FLAIR MRI.
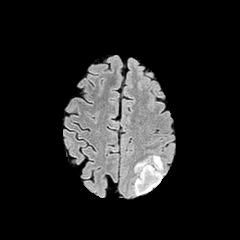
T1-weighted magnetic resonance.
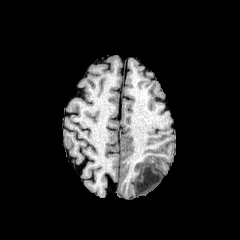
Post-contrast T1-weighted magnetic resonance.
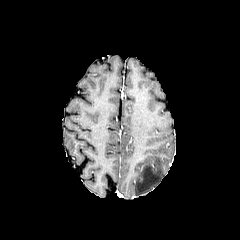
T2-weighted MR.
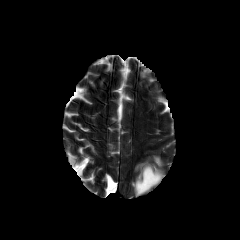
Head
peritumoral edema at [134,155,163,195]